FLAIR MR.
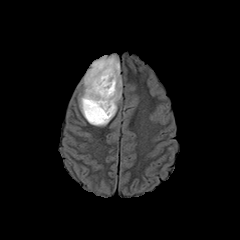
T1-weighted MR image.
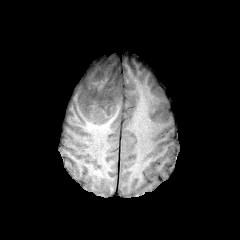
Post-contrast T1-weighted magnetic resonance.
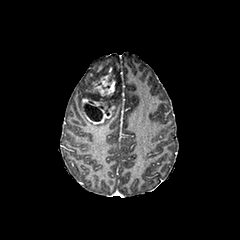
T2-weighted MRI.
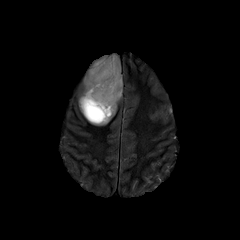
Axial plane, Head, 240x240 px
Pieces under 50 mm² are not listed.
Segmented structures:
• enhancing tumor: [x1=92, y1=67, x2=115, y2=96], [x1=84, y1=101, x2=114, y2=124], [x1=81, y1=98, x2=90, y2=110]
• necrotic tumor core: [x1=83, y1=103, x2=103, y2=121]
• peritumoral edema: [x1=78, y1=55, x2=122, y2=126]